FLAIR MR image.
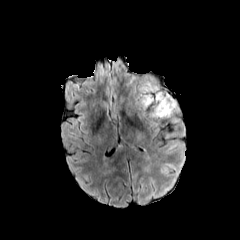
T1-weighted MR image.
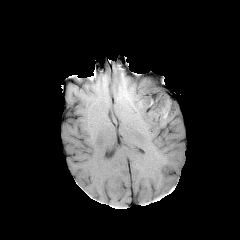
Post-contrast T1-weighted magnetic resonance.
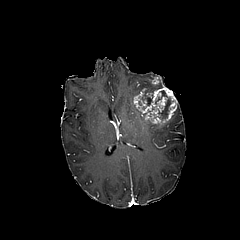
T2-weighted MR image.
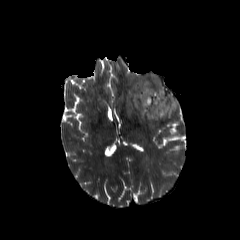
Axial view
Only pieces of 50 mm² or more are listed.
The largest peritumoral edema region is located at (x1=139, y1=76, x2=156, y2=91). The 2 largest necrotic tumor core regions are bounded by (x1=141, y1=90, x2=153, y2=105), (x1=158, y1=90, x2=173, y2=120). The largest enhancing tumor region is located at (x1=134, y1=87, x2=177, y2=123).